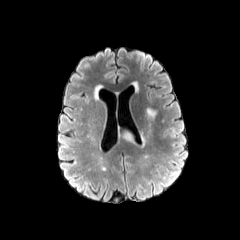
FLAIR MR.
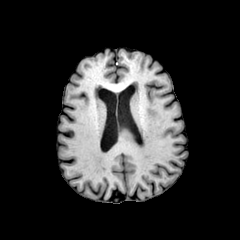
Same slice, T1-weighted magnetic resonance.
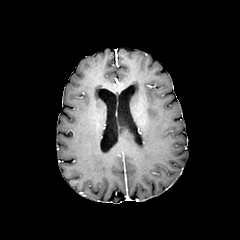
Post-contrast T1-weighted MR image.
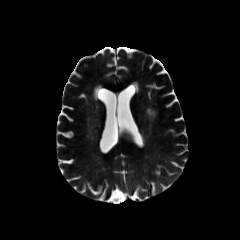
T2-weighted magnetic resonance.
Head
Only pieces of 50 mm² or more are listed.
<segmentation>
  <peritumoral_edema>(left=122, top=130, right=134, bottom=142), (left=147, top=108, right=156, bottom=118)</peritumoral_edema>
</segmentation>